FLAIR MRI.
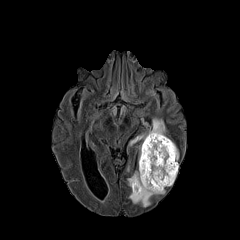
T1-weighted MRI.
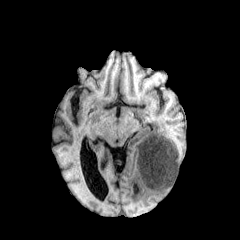
Post-contrast T1-weighted MRI.
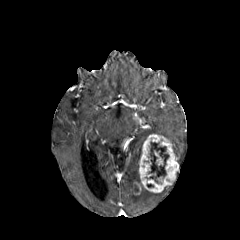
T2-weighted MR.
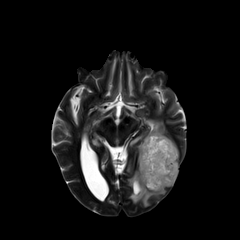
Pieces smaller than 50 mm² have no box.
{
  "necrotic_tumor_core": [
    {"x1": 147, "y1": 141, "x2": 169, "y2": 183}
  ],
  "peritumoral_edema": [
    {"x1": 130, "y1": 118, "x2": 179, "y2": 156},
    {"x1": 127, "y1": 168, "x2": 165, "y2": 207}
  ],
  "enhancing_tumor": [
    {"x1": 133, "y1": 134, "x2": 178, "y2": 194},
    {"x1": 154, "y1": 151, "x2": 163, "y2": 165}
  ]
}